FLAIR magnetic resonance.
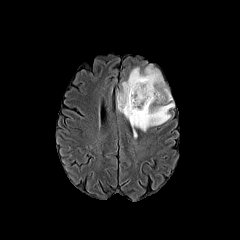
T1-weighted MR.
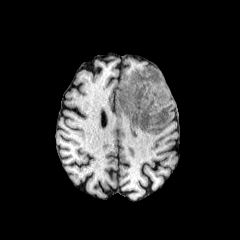
Post-contrast T1-weighted MRI.
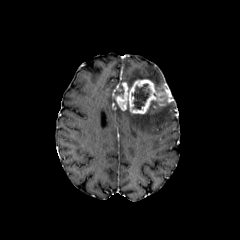
T2-weighted MR.
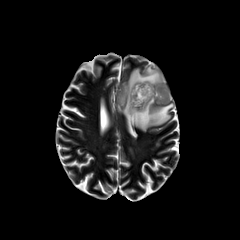
Head; Axial view
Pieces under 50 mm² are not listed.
The largest necrotic tumor core region is bounded by [132, 84, 149, 109]. 2 peritumoral edema regions are bounded by [117, 103, 174, 138], [127, 64, 163, 87]. The enhancing tumor is bounded by [116, 79, 171, 113].